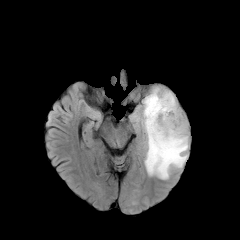
FLAIR magnetic resonance.
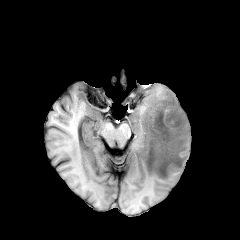
T1-weighted MR.
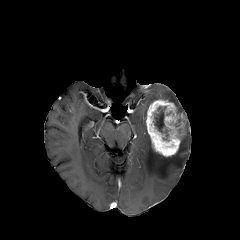
Post-contrast T1-weighted MRI.
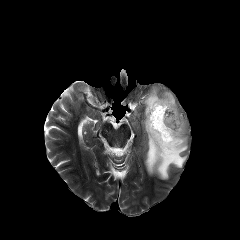
T2-weighted MRI of the same slice.
Brain; Axial plane; 240x240
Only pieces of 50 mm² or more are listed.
necrotic tumor core at 155, 107, 165, 131
enhancing tumor at 145, 99, 186, 156
peritumoral edema at 141, 87, 188, 179